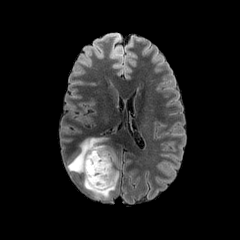
FLAIR MRI.
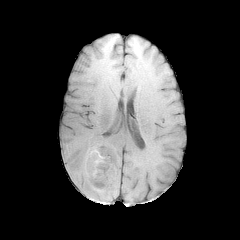
T1-weighted magnetic resonance of the same slice.
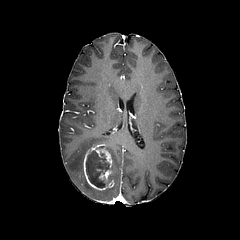
Post-contrast T1-weighted magnetic resonance of the same slice.
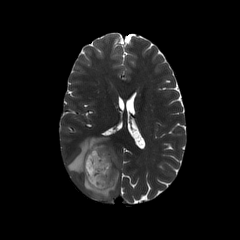
Same slice, T2-weighted MRI.
Image size 240x240.
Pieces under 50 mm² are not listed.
<segmentation>
  <necrotic_tumor_core>region(86, 150, 109, 187)</necrotic_tumor_core>
  <enhancing_tumor>region(83, 144, 115, 190)</enhancing_tumor>
  <peritumoral_edema>region(67, 137, 119, 199)</peritumoral_edema>
</segmentation>